Axial view | Slice index 75
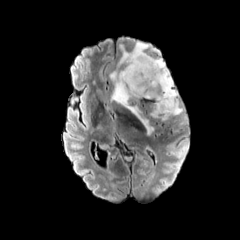
FLAIR MRI.
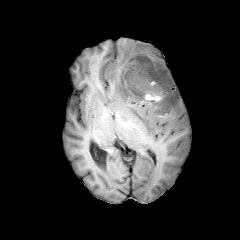
T1-weighted MR of the same slice.
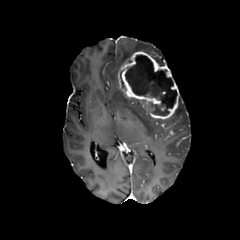
Post-contrast T1-weighted MRI.
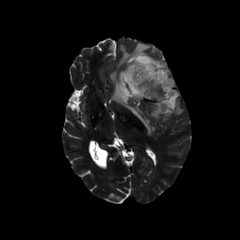
Same slice, T2-weighted MR.
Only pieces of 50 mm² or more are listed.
The largest necrotic tumor core region is bounded by left=125, top=55, right=177, bottom=115. The 2 largest peritumoral edema regions are bounded by left=110, top=41, right=165, bottom=134; left=162, top=97, right=184, bottom=120. The largest enhancing tumor region is at left=118, top=51, right=179, bottom=119.